Image width 240 mm, 1.00 mm slice spacing, Slice index 86, Brain, Axial view
FLAIR MRI.
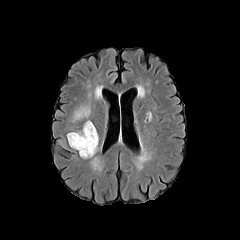
T1-weighted MR image.
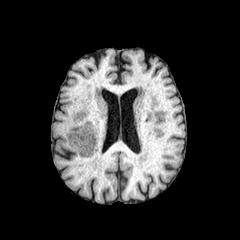
Post-contrast T1-weighted MR image.
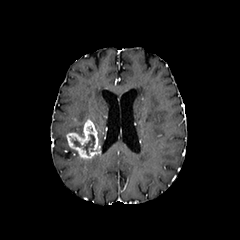
T2-weighted magnetic resonance.
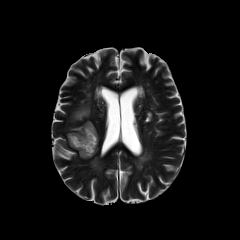
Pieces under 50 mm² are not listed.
necrotic_tumor_core:
  - left=71, top=134, right=95, bottom=155
enhancing_tumor:
  - left=66, top=120, right=99, bottom=158
peritumoral_edema:
  - left=72, top=105, right=90, bottom=121